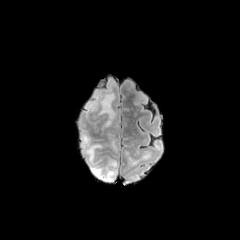
FLAIR MR image.
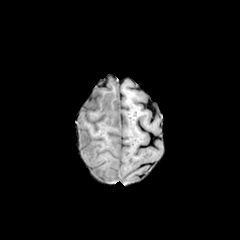
T1-weighted MR image.
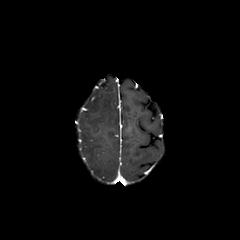
Post-contrast T1-weighted magnetic resonance.
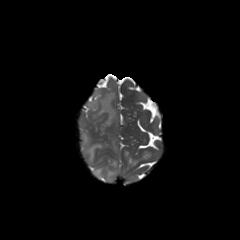
Same slice, T2-weighted MR image.
Brain. Image size 240x240.
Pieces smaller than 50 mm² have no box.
The 2 largest peritumoral edema regions are bounded by (left=89, top=93, right=115, bottom=126), (left=81, top=132, right=117, bottom=181).